Brain, Axial plane, Slice 122/155
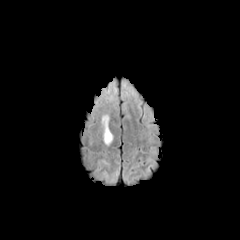
FLAIR MRI.
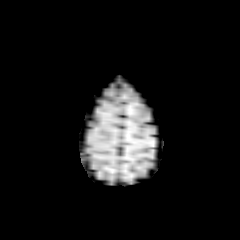
T1-weighted MR.
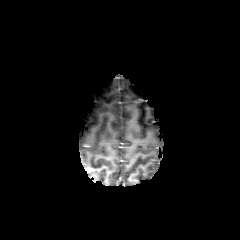
Post-contrast T1-weighted MR image.
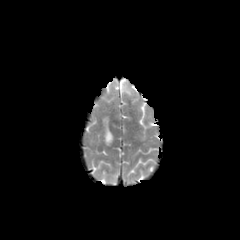
T2-weighted MRI.
peritumoral edema: bounding box rect(102, 116, 113, 145)